FLAIR MR image.
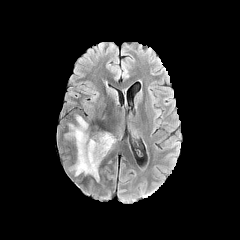
T1-weighted MRI.
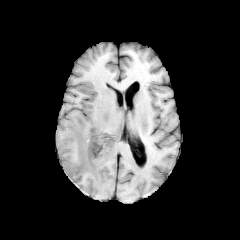
Post-contrast T1-weighted MR.
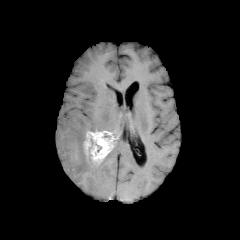
T2-weighted MR image.
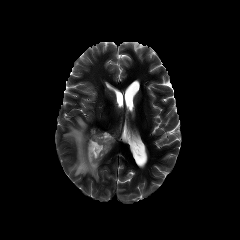
Head | 240x240 px
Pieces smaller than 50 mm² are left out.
The enhancing tumor lies within [x1=83, y1=126, x2=118, y2=168]. The peritumoral edema is located at [x1=63, y1=115, x2=99, y2=181]. The largest necrotic tumor core region lies within [x1=89, y1=138, x2=101, y2=154].